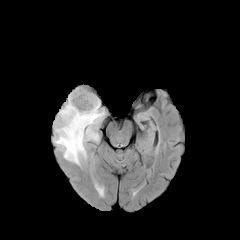
FLAIR MR.
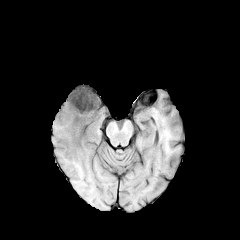
T1-weighted MRI.
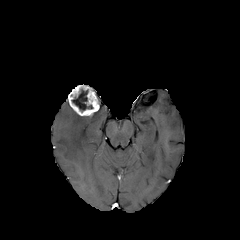
Same slice, post-contrast T1-weighted MRI.
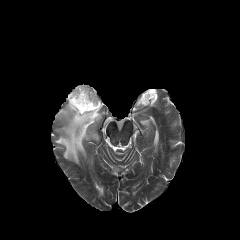
T2-weighted magnetic resonance.
240x240 px.
peritumoral edema: 53 101 105 165
enhancing tumor: 67 85 100 116
necrotic tumor core: 72 90 92 110